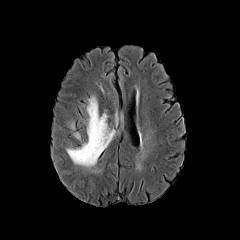
FLAIR MR image.
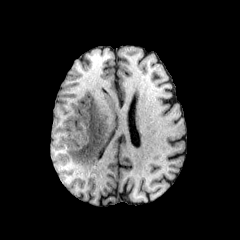
T1-weighted MR.
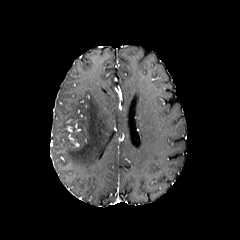
Post-contrast T1-weighted magnetic resonance.
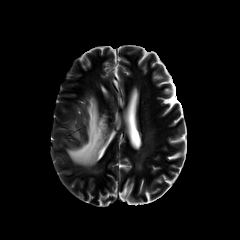
T2-weighted MR of the same slice.
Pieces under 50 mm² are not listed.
The largest peritumoral edema region is located at 67:96:114:167.